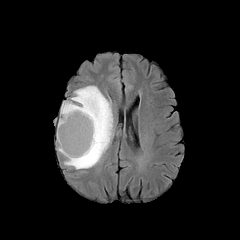
FLAIR MR image.
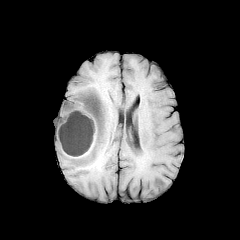
T1-weighted MR.
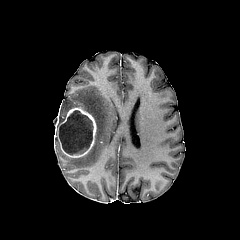
Post-contrast T1-weighted MRI.
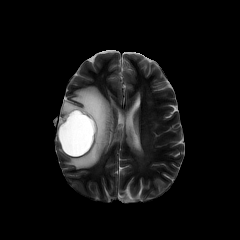
Same slice, T2-weighted MR.
Axial view
peritumoral edema: 57,86,113,169 | enhancing tumor: 56,107,96,157 | necrotic tumor core: 59,110,92,154